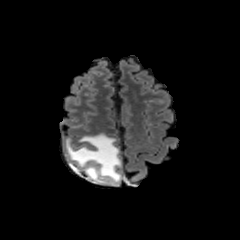
FLAIR MRI.
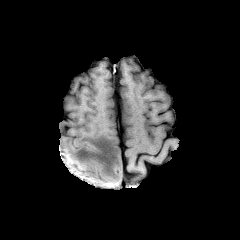
T1-weighted MR image of the same slice.
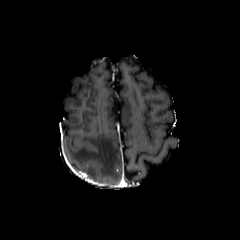
Same slice, post-contrast T1-weighted magnetic resonance.
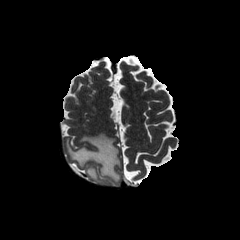
T2-weighted MR of the same slice.
Axial view; Head; Image size 240x240
{"peritumoral_edema": ["[x1=66, y1=133, x2=122, y2=185]"]}